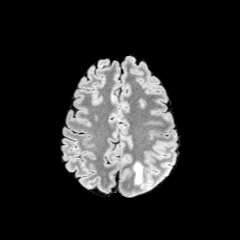
FLAIR magnetic resonance.
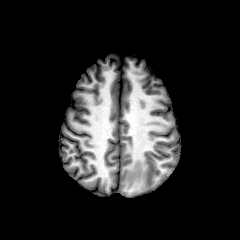
Same slice, T1-weighted MR.
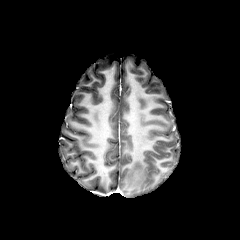
Post-contrast T1-weighted MR of the same slice.
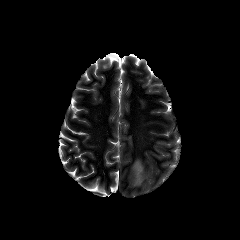
T2-weighted magnetic resonance.
Brain. 240x240 px.
The peritumoral edema lies within 133 161 143 184.